Head
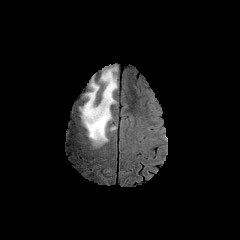
FLAIR magnetic resonance.
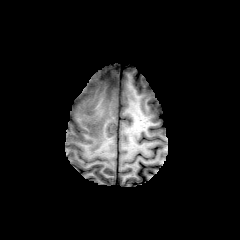
T1-weighted magnetic resonance.
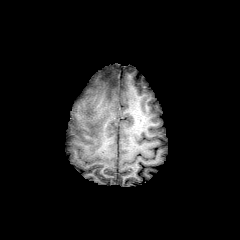
Post-contrast T1-weighted MR.
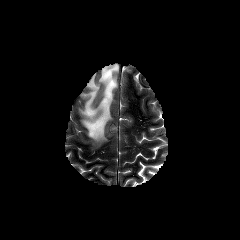
T2-weighted MR.
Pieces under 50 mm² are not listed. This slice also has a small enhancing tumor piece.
peritumoral edema at 80,65,117,142